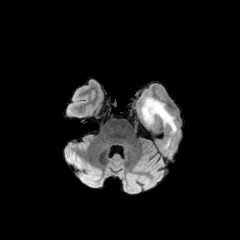
FLAIR MRI.
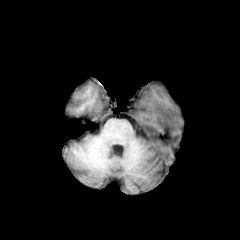
T1-weighted MR image.
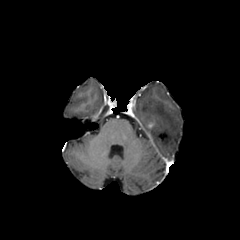
Post-contrast T1-weighted MR of the same slice.
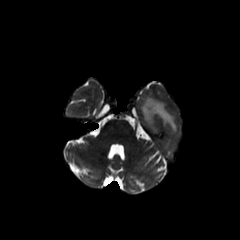
Same slice, T2-weighted MRI.
Image size 240x240
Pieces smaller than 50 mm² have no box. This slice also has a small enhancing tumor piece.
The peritumoral edema is located at 141,97,177,149.